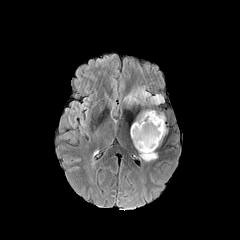
FLAIR MR.
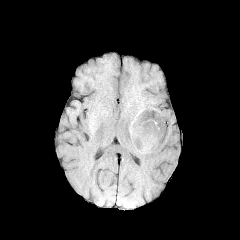
T1-weighted MR.
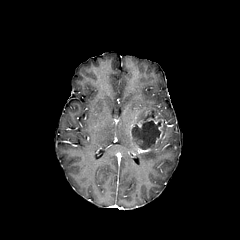
Post-contrast T1-weighted MR.
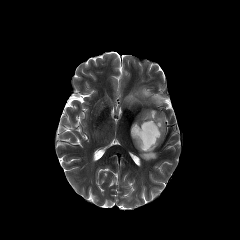
T2-weighted magnetic resonance.
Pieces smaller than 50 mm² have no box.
necrotic tumor core: bounding box 132 114 161 149
enhancing tumor: bounding box 131 112 163 152
peritumoral edema: bounding box 135 86 164 104, 136 110 167 137, 139 139 161 161